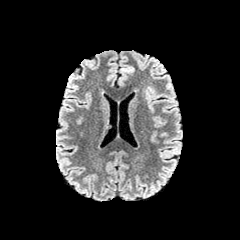
FLAIR MR image.
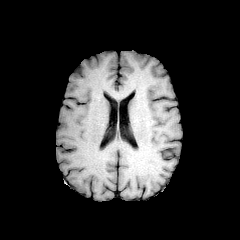
T1-weighted MR.
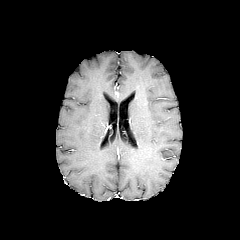
Post-contrast T1-weighted magnetic resonance.
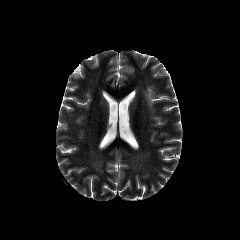
T2-weighted MR.
Axial view
Annotated regions:
- peritumoral edema: (123, 67, 133, 73)